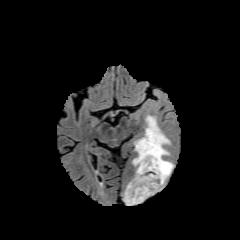
FLAIR MRI.
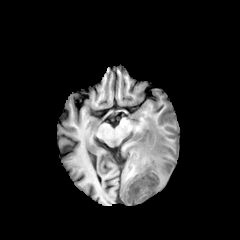
T1-weighted magnetic resonance.
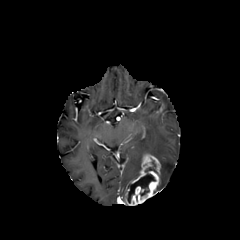
Post-contrast T1-weighted MRI.
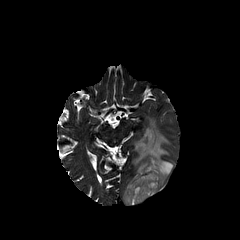
Same slice, T2-weighted MRI.
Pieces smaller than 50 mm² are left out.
enhancing tumor = (x1=124, y1=154, x2=160, y2=205)
peritumoral edema = (x1=132, y1=116, x2=173, y2=190)
necrotic tumor core = (x1=127, y1=174, x2=155, y2=202), (x1=145, y1=161, x2=157, y2=173)